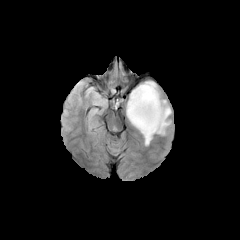
FLAIR MRI.
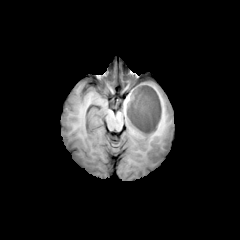
T1-weighted MR image of the same slice.
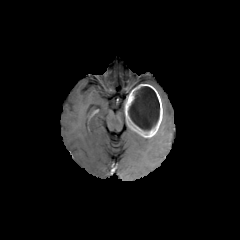
Same slice, post-contrast T1-weighted MR image.
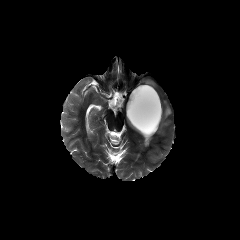
Same slice, T2-weighted MR image.
Brain
- necrotic tumor core: [128, 86, 159, 130]
- enhancing tumor: [125, 84, 162, 137]
- peritumoral edema: [144, 81, 157, 90], [156, 99, 171, 134], [144, 137, 152, 145]